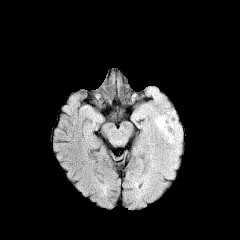
FLAIR MR image.
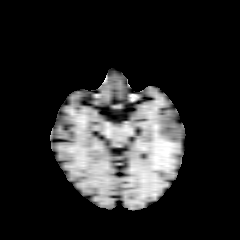
Same slice, T1-weighted MR image.
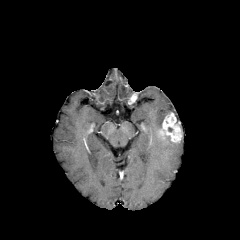
Post-contrast T1-weighted MR image.
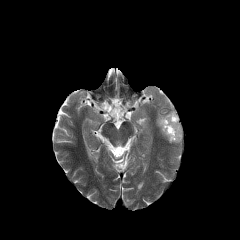
Same slice, T2-weighted magnetic resonance.
Axial view; Image size 240x240
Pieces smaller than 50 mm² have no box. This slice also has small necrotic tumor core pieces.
• peritumoral edema: {"x1": 155, "y1": 115, "x2": 165, "y2": 128}
• enhancing tumor: {"x1": 159, "y1": 112, "x2": 182, "y2": 142}